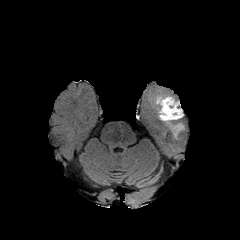
FLAIR magnetic resonance.
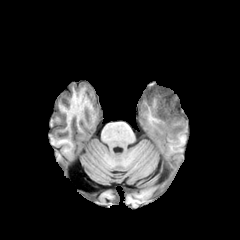
T1-weighted MR.
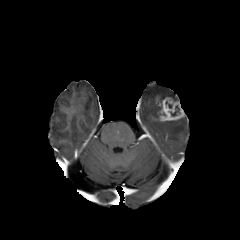
Post-contrast T1-weighted MRI.
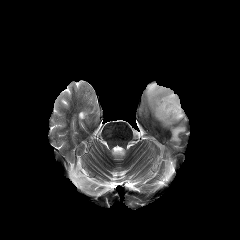
Same slice, T2-weighted magnetic resonance.
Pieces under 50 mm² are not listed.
The enhancing tumor is bounded by 156 97 184 121. The largest necrotic tumor core region is located at 170 105 179 116. The 2 largest peritumoral edema regions are bounded by 149 88 175 111, 171 124 184 139.